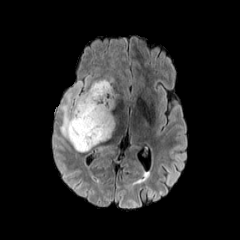
FLAIR MRI.
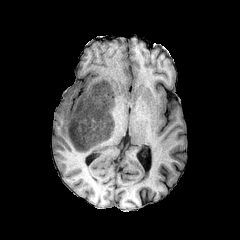
T1-weighted MRI.
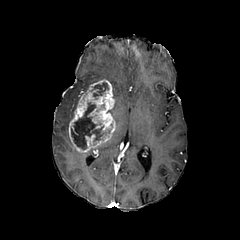
Post-contrast T1-weighted MR.
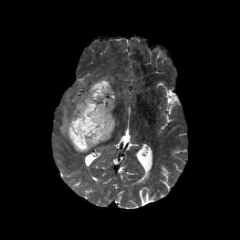
T2-weighted MRI of the same slice.
Head.
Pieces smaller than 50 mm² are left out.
{
  "necrotic_tumor_core": [
    "(93,82,108,100)",
    "(71,102,103,149)"
  ],
  "peritumoral_edema": [
    "(56,77,98,140)",
    "(99,75,114,83)"
  ],
  "enhancing_tumor": [
    "(68,79,115,152)"
  ]
}